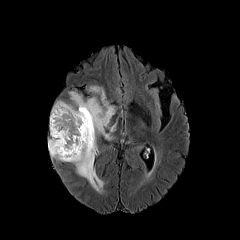
FLAIR MR.
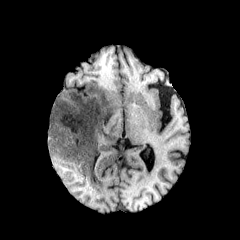
Same slice, T1-weighted MRI.
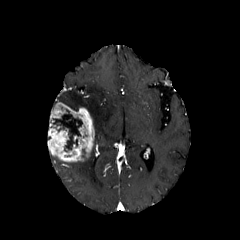
Post-contrast T1-weighted magnetic resonance.
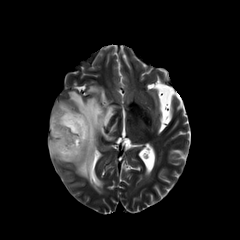
T2-weighted MRI.
Axial plane; Brain
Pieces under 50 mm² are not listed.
The enhancing tumor appears at l=48, t=101, r=94, b=162. The 2 largest peritumoral edema regions appear at l=71, t=146, r=103, b=192; l=59, t=86, r=115, b=145. The largest necrotic tumor core region is located at l=53, t=110, r=82, b=151.